Axial slice. Image width 240 mm, 1.00 mm slice spacing.
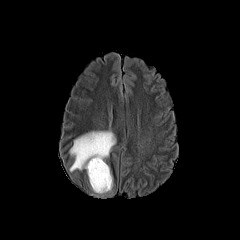
FLAIR MR image.
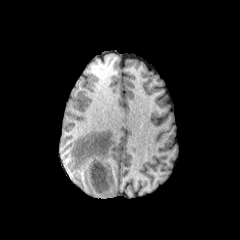
T1-weighted magnetic resonance.
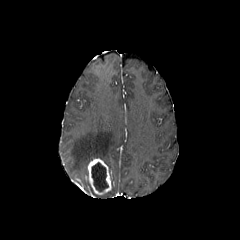
Post-contrast T1-weighted MRI.
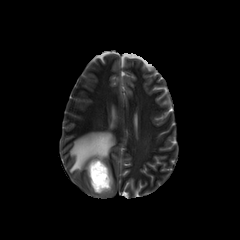
Same slice, T2-weighted MRI.
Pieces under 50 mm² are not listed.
The necrotic tumor core is at rect(91, 162, 108, 191). The largest peritumoral edema region is at rect(70, 131, 115, 171). The enhancing tumor appears at rect(87, 158, 111, 194).